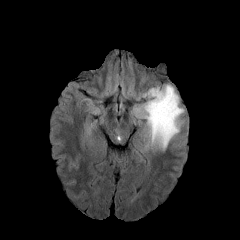
FLAIR MR image.
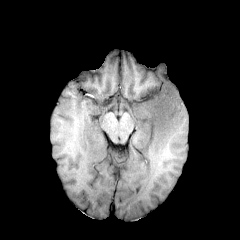
Same slice, T1-weighted magnetic resonance.
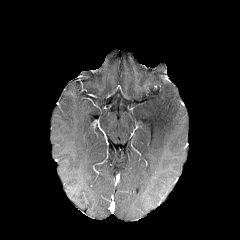
Post-contrast T1-weighted MRI.
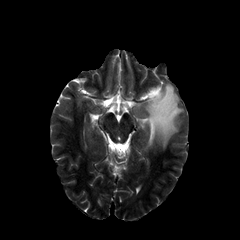
T2-weighted magnetic resonance of the same slice.
Image size 240x240. Axial plane.
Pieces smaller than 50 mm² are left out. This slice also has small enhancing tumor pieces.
peritumoral edema: bounding box left=133, top=84, right=184, bottom=150